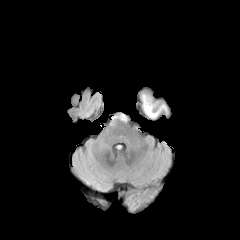
FLAIR MR.
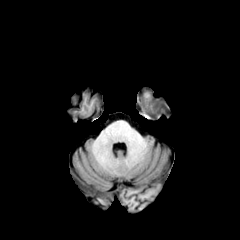
T1-weighted MR.
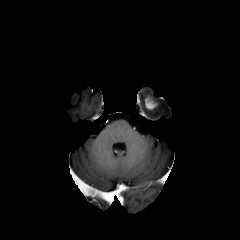
Post-contrast T1-weighted MR image.
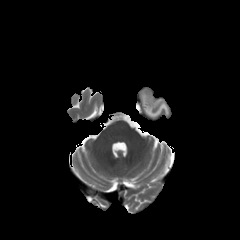
T2-weighted MR image.
Brain | 240x240 px
Segmented structures:
- enhancing tumor: [145, 96, 157, 109]
- peritumoral edema: [141, 95, 166, 117]